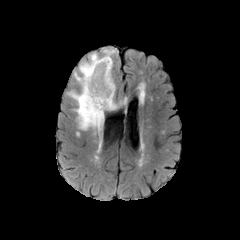
FLAIR magnetic resonance.
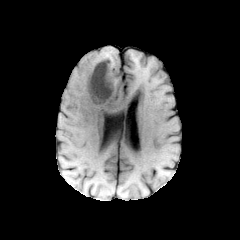
T1-weighted magnetic resonance.
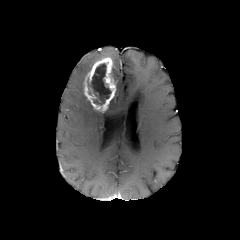
Post-contrast T1-weighted MR image of the same slice.
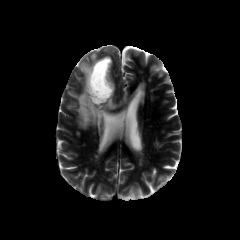
T2-weighted magnetic resonance of the same slice.
Head. Image size 240x240.
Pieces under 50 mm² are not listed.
enhancing tumor: rect(84, 57, 115, 112) | necrotic tumor core: rect(90, 63, 111, 104) | peritumoral edema: rect(107, 96, 127, 110); rect(67, 48, 115, 152)